FLAIR MRI.
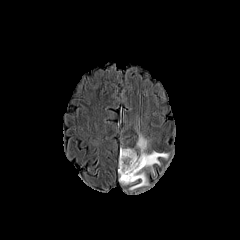
T1-weighted MR.
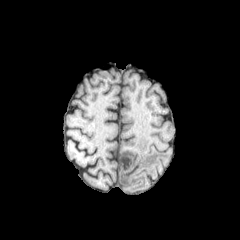
Post-contrast T1-weighted MRI.
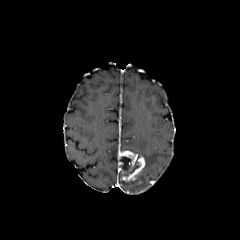
T2-weighted MR.
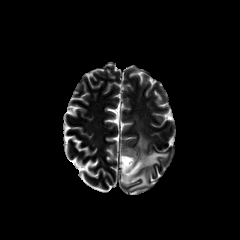
Brain; Axial view
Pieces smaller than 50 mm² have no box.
peritumoral_edema:
  - 119:134:169:190
necrotic_tumor_core:
  - 120:157:139:175
enhancing_tumor:
  - 118:150:144:181